Axial view. Image width 240 mm, 1.00 mm slice spacing. Brain.
FLAIR magnetic resonance.
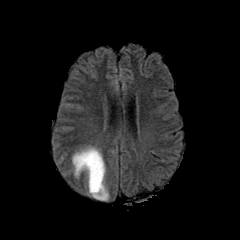
T1-weighted MRI.
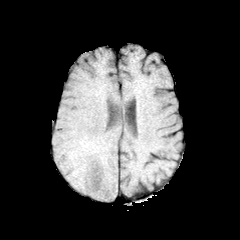
Post-contrast T1-weighted MR.
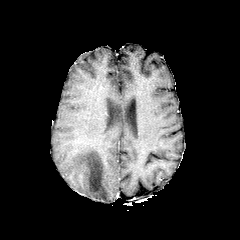
T2-weighted MR.
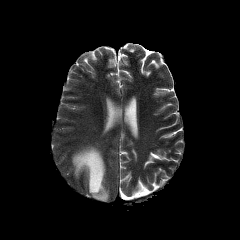
The peritumoral edema lies within box=[72, 146, 108, 200].